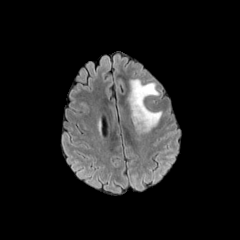
FLAIR MR.
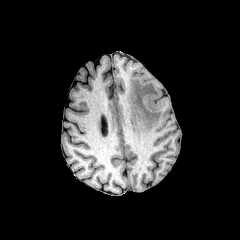
Same slice, T1-weighted MR.
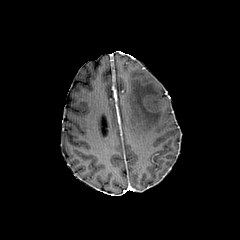
Post-contrast T1-weighted MRI.
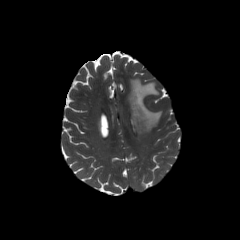
T2-weighted MR image of the same slice.
Head
The peritumoral edema appears at region(128, 79, 161, 132).